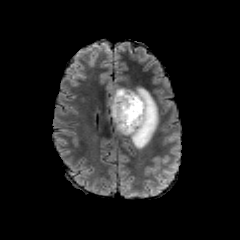
FLAIR MR image.
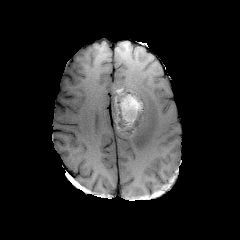
T1-weighted MRI.
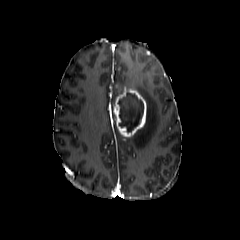
Post-contrast T1-weighted magnetic resonance.
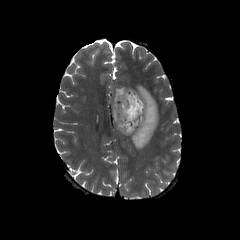
T2-weighted MRI.
240x240 px.
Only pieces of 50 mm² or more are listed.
The necrotic tumor core is located at x1=118 y1=91 x2=143 y2=132. The enhancing tumor is located at x1=113 y1=88 x2=146 y2=136. The 2 largest peritumoral edema regions appear at x1=129 y1=86 x2=159 y2=149, x1=110 y1=88 x2=124 y2=121.